Image width 240 mm, 1.00 mm slice spacing, 240x240 px, Axial plane
FLAIR magnetic resonance.
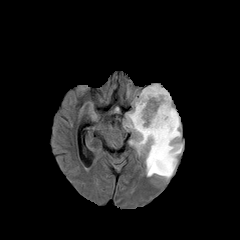
T1-weighted MR.
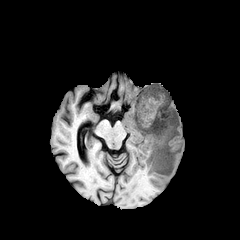
Post-contrast T1-weighted MR image.
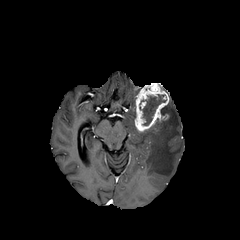
T2-weighted magnetic resonance.
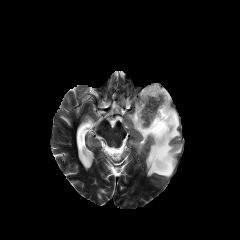
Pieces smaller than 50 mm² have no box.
peritumoral edema = {"x1": 127, "y1": 97, "x2": 182, "y2": 178}
enhancing tumor = {"x1": 134, "y1": 83, "x2": 169, "y2": 132}
necrotic tumor core = {"x1": 143, "y1": 95, "x2": 165, "y2": 125}